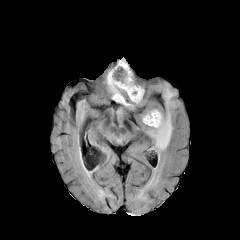
FLAIR magnetic resonance.
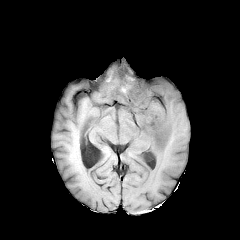
Same slice, T1-weighted MR.
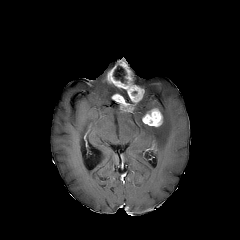
Same slice, post-contrast T1-weighted MR.
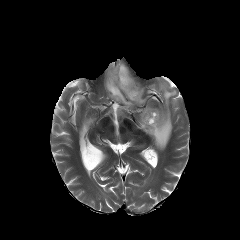
T2-weighted magnetic resonance.
Axial view, 240x240 px, Brain
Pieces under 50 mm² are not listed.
<segmentation>
  <peritumoral_edema>x1=141, y1=83, x2=177, y2=153; x1=106, y1=80, x2=133, y2=103</peritumoral_edema>
  <necrotic_tumor_core>x1=117, y1=69, x2=124, y2=76</necrotic_tumor_core>
  <enhancing_tumor>x1=106, y1=58, x2=144, y2=111; x1=142, y1=108, x2=162, y2=126</enhancing_tumor>
</segmentation>